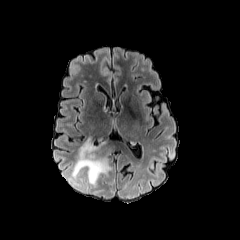
FLAIR MR.
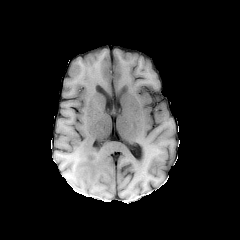
T1-weighted MR.
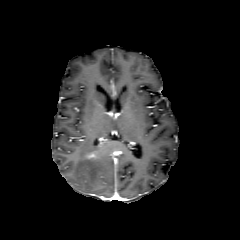
Post-contrast T1-weighted MR.
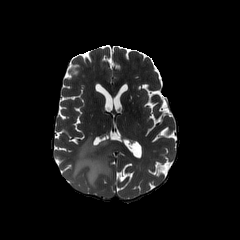
T2-weighted MRI.
Brain | Axial slice
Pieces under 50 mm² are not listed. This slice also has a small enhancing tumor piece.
peritumoral edema: bounding box x1=72, y1=137, x2=110, y2=185